Slice 116/155
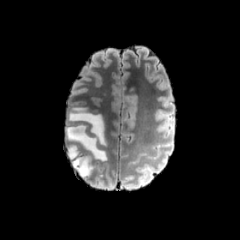
FLAIR magnetic resonance.
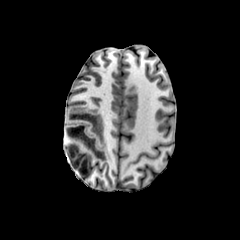
Same slice, T1-weighted MR.
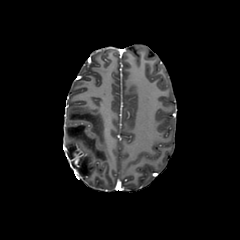
Post-contrast T1-weighted magnetic resonance of the same slice.
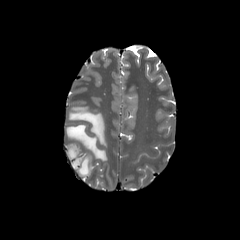
Same slice, T2-weighted MRI.
The peritumoral edema lies within {"x1": 65, "y1": 107, "x2": 107, "y2": 176}. The enhancing tumor is bounded by {"x1": 73, "y1": 153, "x2": 80, "y2": 166}.